Brain, Slice 80/155
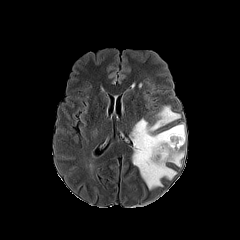
FLAIR MR image.
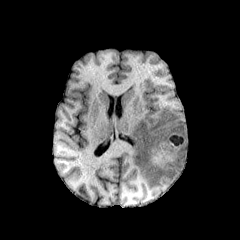
T1-weighted magnetic resonance of the same slice.
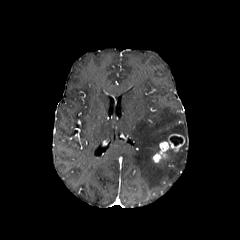
Post-contrast T1-weighted MR image of the same slice.
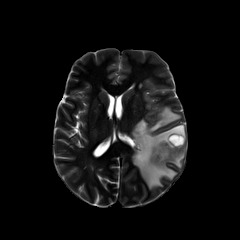
T2-weighted magnetic resonance.
peritumoral edema: (130,106,185,189)
enhancing tumor: (152,133,184,162)
necrotic tumor core: (170,136,182,145)